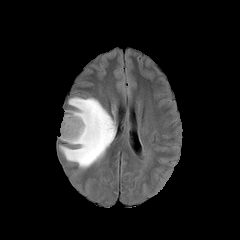
FLAIR MR image.
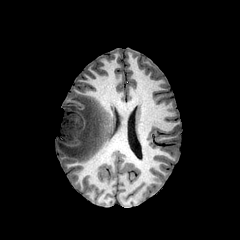
T1-weighted MR.
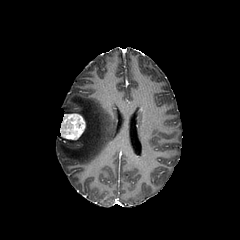
Post-contrast T1-weighted MR image of the same slice.
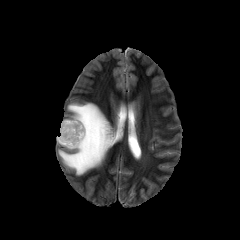
T2-weighted magnetic resonance.
enhancing tumor: box(60, 113, 85, 139)
peritumoral edema: box(59, 97, 115, 170)